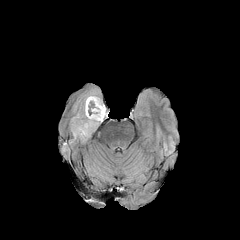
FLAIR magnetic resonance.
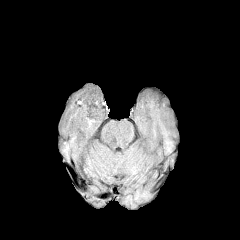
T1-weighted MRI.
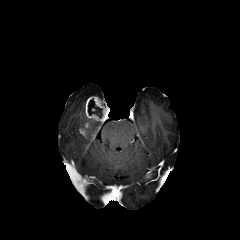
Same slice, post-contrast T1-weighted MRI.
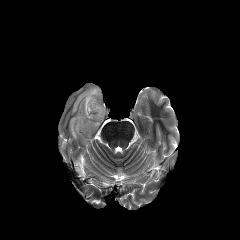
Same slice, T2-weighted MRI.
Brain
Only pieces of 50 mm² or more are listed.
enhancing tumor = (left=79, top=122, right=88, bottom=136), (left=85, top=96, right=109, bottom=121)
peritumoral edema = (left=70, top=88, right=100, bottom=141)
necrotic tumor core = (left=88, top=99, right=102, bottom=118)